Brain
FLAIR MR image.
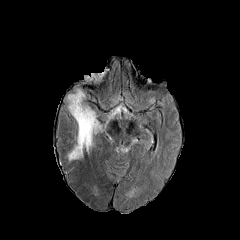
T1-weighted MR.
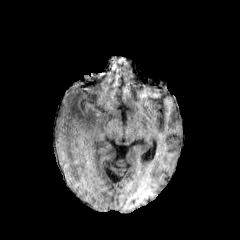
Post-contrast T1-weighted magnetic resonance.
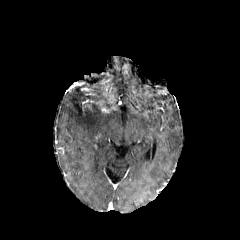
T2-weighted magnetic resonance.
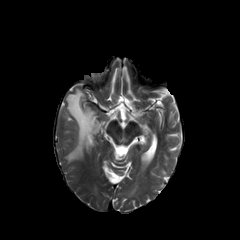
Segmented structures:
* peritumoral edema: 68,89,101,160